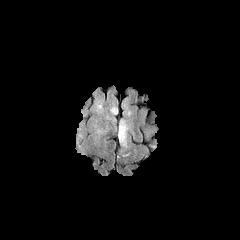
FLAIR MR.
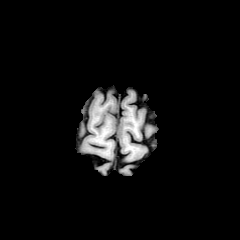
Same slice, T1-weighted MRI.
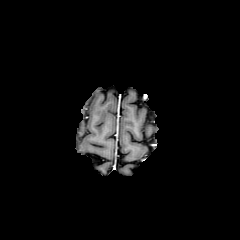
Post-contrast T1-weighted magnetic resonance of the same slice.
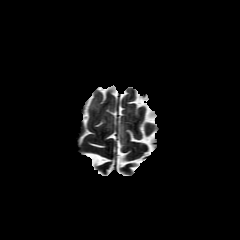
T2-weighted MR image.
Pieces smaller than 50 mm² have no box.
peritumoral edema = bbox(119, 122, 125, 139)